Slice 78 of 155, 240x240, Head
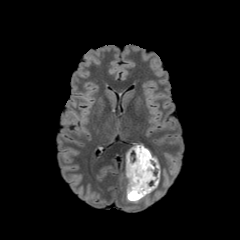
FLAIR MR image.
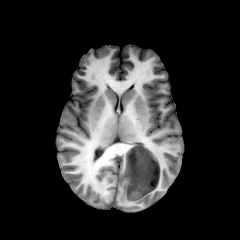
T1-weighted MR image of the same slice.
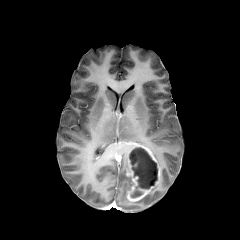
Same slice, post-contrast T1-weighted MR.
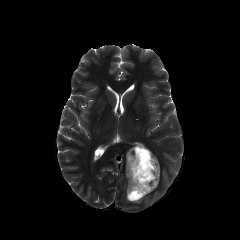
T2-weighted MRI.
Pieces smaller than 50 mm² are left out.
The largest enhancing tumor region is at x1=126, y1=144, x2=160, y2=201. The necrotic tumor core is located at x1=129, y1=147, x2=157, y2=198. The largest peritumoral edema region is at x1=126, y1=177, x2=131, y2=201.